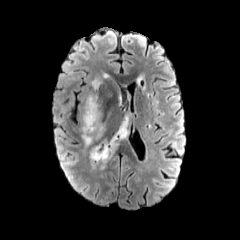
FLAIR magnetic resonance.
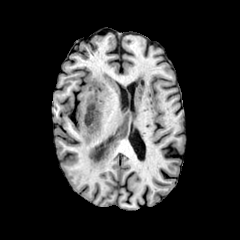
T1-weighted MR image.
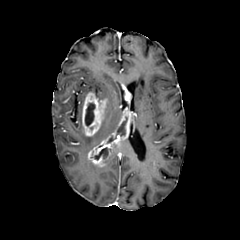
Post-contrast T1-weighted MRI of the same slice.
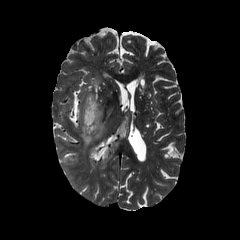
T2-weighted MR.
Head
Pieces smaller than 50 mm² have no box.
peritumoral edema — [x1=82, y1=124, x2=103, y2=146], [x1=137, y1=75, x2=145, y2=89], [x1=91, y1=78, x2=101, y2=96]
enhancing tumor — [x1=82, y1=92, x2=107, y2=136], [x1=88, y1=112, x2=130, y2=167]
necrotic tumor core — [x1=85, y1=103, x2=94, y2=125], [x1=116, y1=117, x2=127, y2=135], [x1=94, y1=147, x2=108, y2=159]